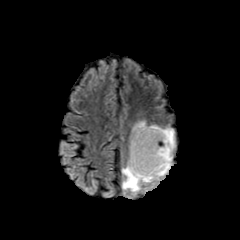
FLAIR MR image.
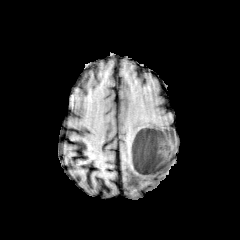
T1-weighted magnetic resonance.
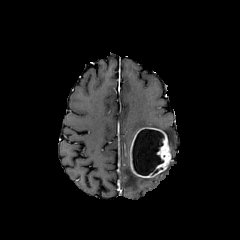
Post-contrast T1-weighted MR image of the same slice.
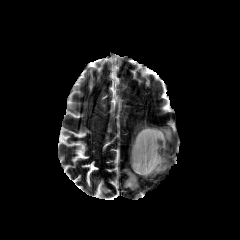
T2-weighted MR of the same slice.
Brain, Axial slice
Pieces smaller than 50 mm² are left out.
<segmentation>
  <peritumoral_edema>region(122, 157, 172, 192); region(130, 120, 175, 158)</peritumoral_edema>
  <enhancing_tumor>region(129, 127, 171, 177)</enhancing_tumor>
  <necrotic_tumor_core>region(132, 129, 163, 175)</necrotic_tumor_core>
</segmentation>